FLAIR MR.
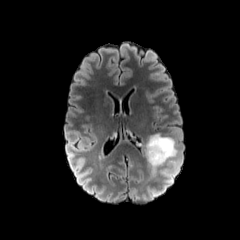
T1-weighted MR.
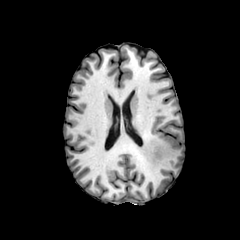
Post-contrast T1-weighted MRI.
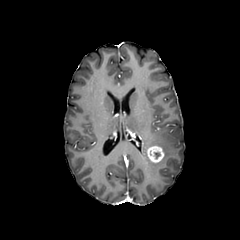
T2-weighted MRI.
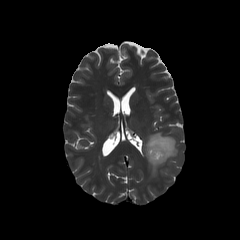
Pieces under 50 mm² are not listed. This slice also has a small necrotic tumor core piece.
Segmented structures:
• enhancing tumor: (x1=147, y1=146, x2=164, y2=162)
• peritumoral edema: (x1=144, y1=133, x2=177, y2=172)